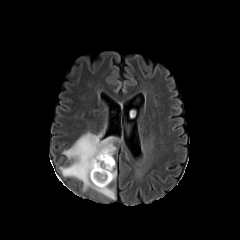
FLAIR magnetic resonance.
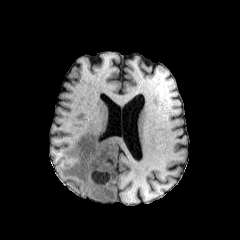
T1-weighted MRI.
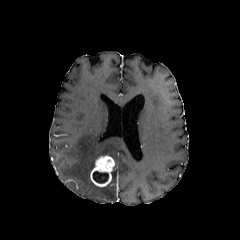
Post-contrast T1-weighted MRI.
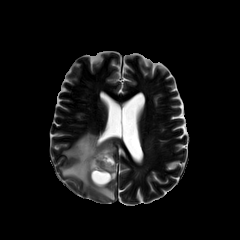
T2-weighted MR image.
Axial plane
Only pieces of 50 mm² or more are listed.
- necrotic tumor core: 93 171 108 183
- peritumoral edema: 60 132 119 199
- enhancing tumor: 90 155 114 187